Axial view | Slice index 46
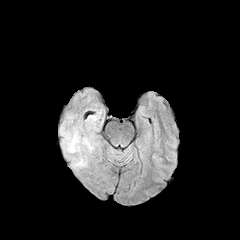
FLAIR magnetic resonance.
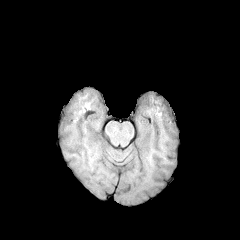
Same slice, T1-weighted MR image.
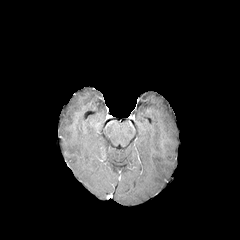
Post-contrast T1-weighted MR image of the same slice.
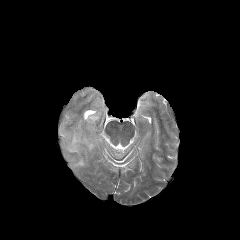
T2-weighted MR image.
2 peritumoral edema regions appear at (x1=60, y1=126, x2=97, y2=167), (x1=86, y1=116, x2=96, y2=131).